Image width 240 mm, 1.00 mm slice spacing, Axial plane
FLAIR MR.
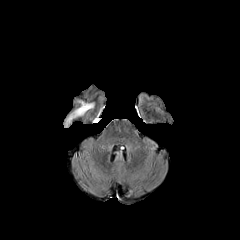
T1-weighted MR image.
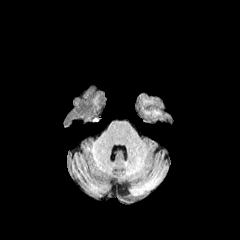
Post-contrast T1-weighted magnetic resonance.
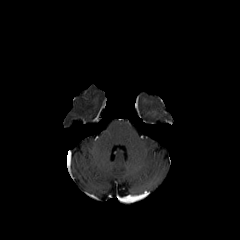
T2-weighted MRI.
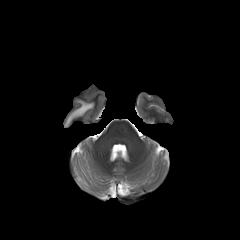
peritumoral edema: bounding box [66, 101, 94, 124]